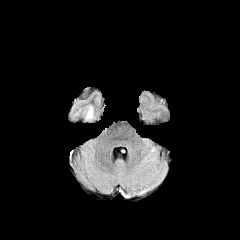
FLAIR MR image.
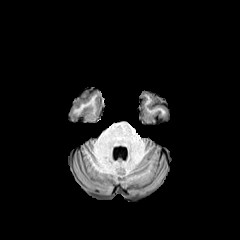
T1-weighted MR of the same slice.
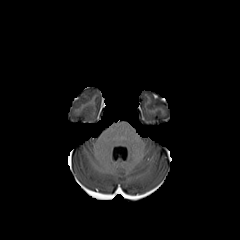
Same slice, post-contrast T1-weighted MR.
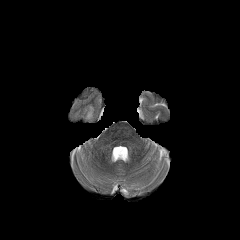
T2-weighted MRI of the same slice.
240x240; Axial view
peritumoral edema: <box>86,106,92,119</box>